FLAIR MR image.
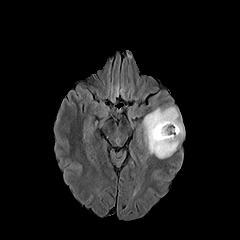
T1-weighted MRI.
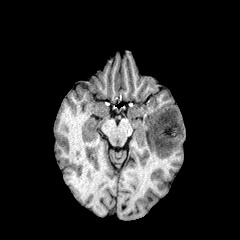
Post-contrast T1-weighted MRI.
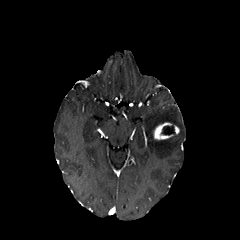
T2-weighted MR image.
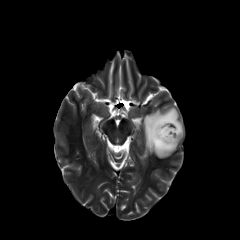
Head; Axial view
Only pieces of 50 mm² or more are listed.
{
  "necrotic_tumor_core": [
    "161 125 175 135"
  ],
  "enhancing_tumor": [
    "153 122 173 139"
  ],
  "peritumoral_edema": [
    "143 106 184 158"
  ]
}